FLAIR MRI.
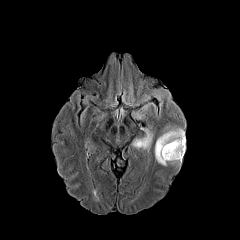
T1-weighted MRI.
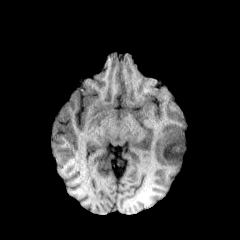
Post-contrast T1-weighted magnetic resonance.
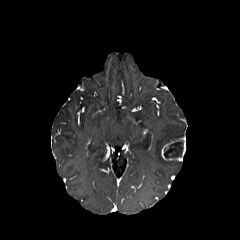
T2-weighted MR image.
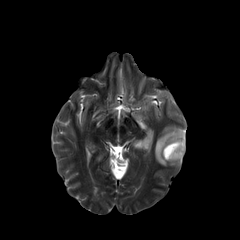
Axial slice. Image size 240x240.
Segmented structures:
- peritumoral edema: (x1=155, y1=128, x2=184, y2=166), (x1=132, y1=133, x2=150, y2=149)
- necrotic tumor core: (x1=164, y1=141, x2=183, y2=158)
- enhancing tumor: (x1=161, y1=137, x2=185, y2=160)